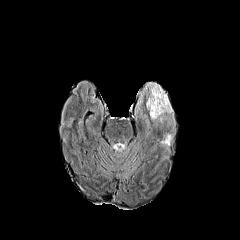
FLAIR MRI.
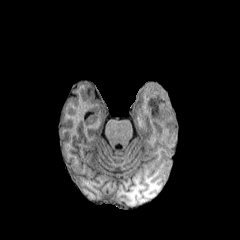
Same slice, T1-weighted MRI.
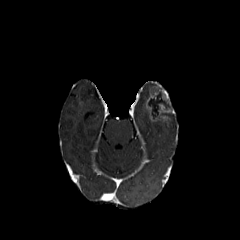
Post-contrast T1-weighted magnetic resonance.
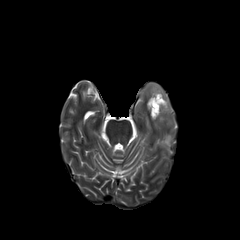
T2-weighted magnetic resonance of the same slice.
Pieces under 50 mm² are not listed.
The enhancing tumor is bounded by [146, 83, 174, 121]. The 3 largest peritumoral edema regions are located at [161, 113, 174, 124], [161, 134, 172, 146], [144, 83, 157, 94]. The necrotic tumor core is at [148, 92, 170, 118].